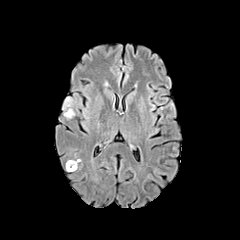
FLAIR magnetic resonance.
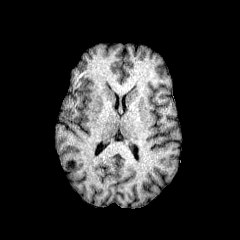
T1-weighted MR.
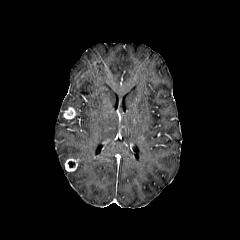
Same slice, post-contrast T1-weighted MRI.
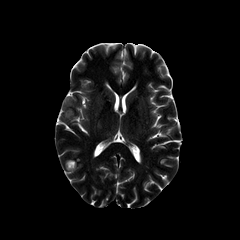
T2-weighted MR image.
Axial view.
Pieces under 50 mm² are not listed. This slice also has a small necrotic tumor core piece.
enhancing tumor at (x1=63, y1=107, x2=75, y2=119), (x1=65, y1=158, x2=78, y2=171)
peritumoral edema at (x1=62, y1=97, x2=73, y2=110)